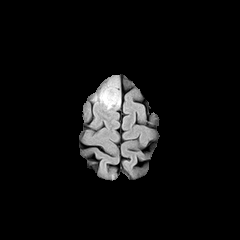
FLAIR MR image.
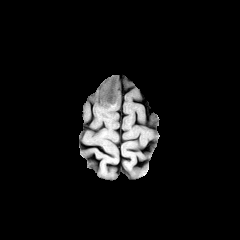
T1-weighted MR.
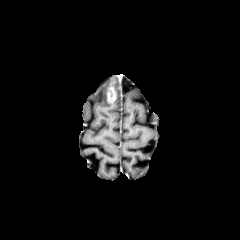
Post-contrast T1-weighted MR image.
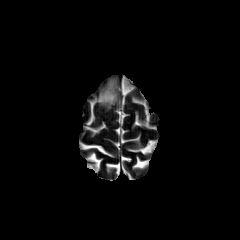
T2-weighted MRI.
Image size 240x240.
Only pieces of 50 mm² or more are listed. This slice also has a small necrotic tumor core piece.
enhancing tumor: bounding box x1=107, y1=82, x2=115, y2=102
peritumoral edema: bounding box x1=93, y1=78, x2=120, y2=110